Image covers 240 mm x 240 mm | 240x240
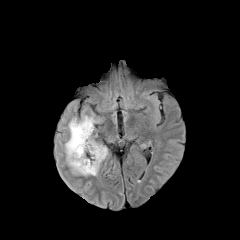
FLAIR magnetic resonance.
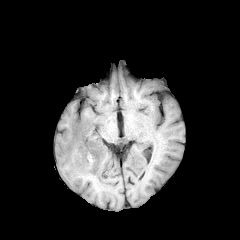
T1-weighted MRI.
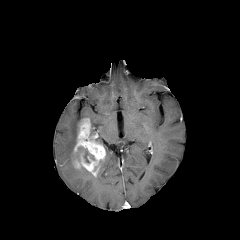
Same slice, post-contrast T1-weighted MR image.
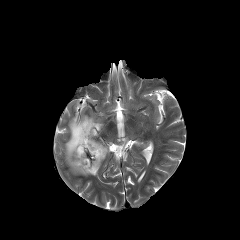
Same slice, T2-weighted MR.
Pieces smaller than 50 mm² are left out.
peritumoral edema: box=[81, 114, 99, 135]; box=[65, 117, 91, 175] | enhancing tumor: box=[73, 118, 105, 176] | necrotic tumor core: box=[84, 150, 94, 162]